FLAIR MR.
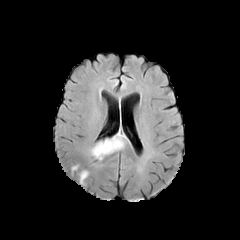
T1-weighted MRI.
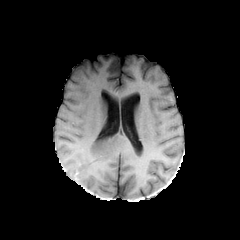
Post-contrast T1-weighted magnetic resonance.
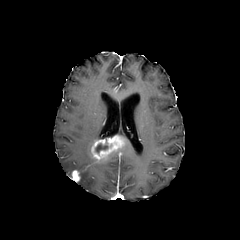
T2-weighted MR.
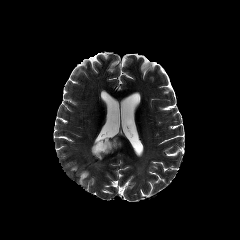
Axial plane
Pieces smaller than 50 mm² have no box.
necrotic tumor core: box(96, 144, 107, 152)
peritumoral edema: box(79, 171, 89, 184)
enhancing tumor: box(72, 170, 79, 181); box(89, 135, 125, 161)